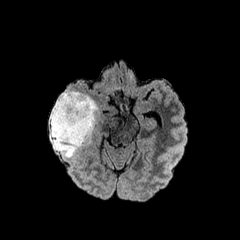
FLAIR MR.
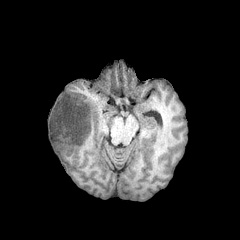
T1-weighted MR.
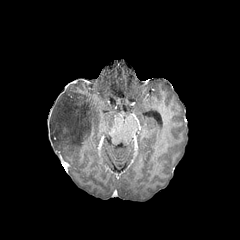
Same slice, post-contrast T1-weighted MR.
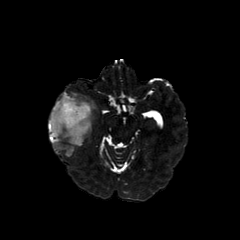
Same slice, T2-weighted magnetic resonance.
240x240. Brain. Axial plane.
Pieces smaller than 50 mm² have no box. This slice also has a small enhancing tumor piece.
peritumoral_edema:
  - (left=49, top=91, right=99, bottom=157)